Brain. Image covers 240 mm x 240 mm. Slice index 98. Axial view.
FLAIR magnetic resonance.
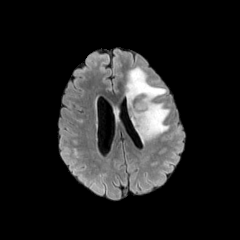
T1-weighted magnetic resonance.
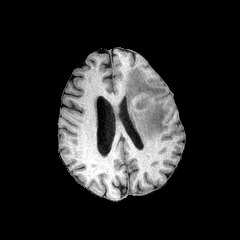
Post-contrast T1-weighted magnetic resonance.
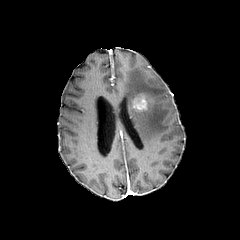
T2-weighted MRI.
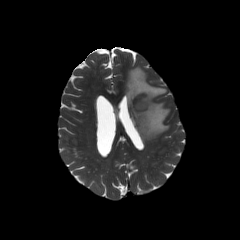
peritumoral edema: [126, 67, 169, 142] | enhancing tumor: [134, 96, 147, 110]